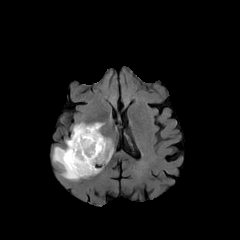
FLAIR MR.
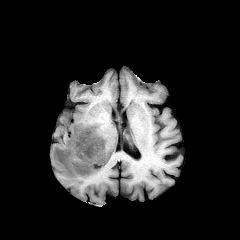
T1-weighted MR.
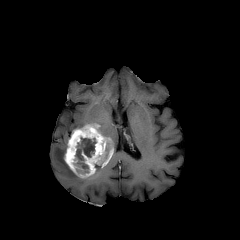
Same slice, post-contrast T1-weighted MR.
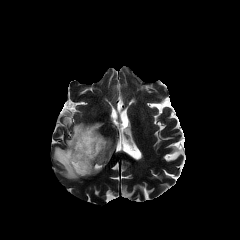
T2-weighted MR image.
Axial slice. 240x240.
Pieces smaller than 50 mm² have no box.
enhancing tumor at {"x1": 64, "y1": 124, "x2": 112, "y2": 177}
peritumoral edema at {"x1": 53, "y1": 139, "x2": 86, "y2": 180}, {"x1": 72, "y1": 122, "x2": 86, "y2": 132}
necrotic tumor core at {"x1": 73, "y1": 137, "x2": 96, "y2": 173}